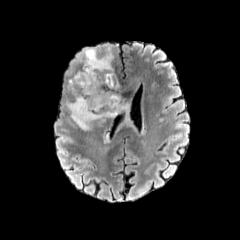
FLAIR MRI.
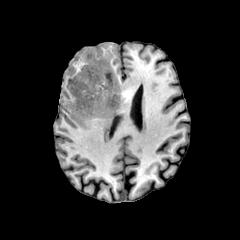
T1-weighted magnetic resonance.
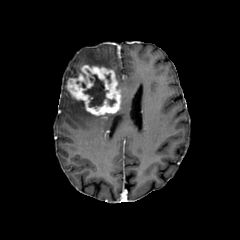
Post-contrast T1-weighted magnetic resonance.
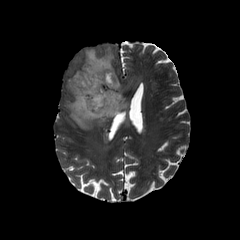
T2-weighted magnetic resonance of the same slice.
240x240 px. Head. Axial slice.
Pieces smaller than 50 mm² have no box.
{"necrotic_tumor_core": ["[x1=84, y1=74, x2=107, y2=107]"], "peritumoral_edema": ["[x1=65, y1=98, x2=129, y2=130]", "[x1=77, y1=48, x2=113, y2=69]"], "enhancing_tumor": ["[x1=67, y1=65, x2=121, y2=115]"]}